FLAIR MR.
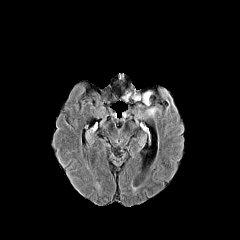
T1-weighted magnetic resonance.
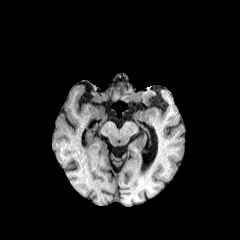
Post-contrast T1-weighted MR image.
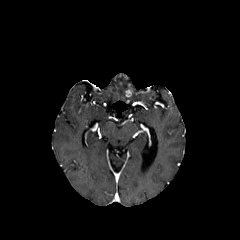
T2-weighted MR.
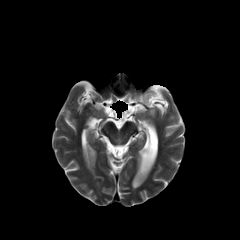
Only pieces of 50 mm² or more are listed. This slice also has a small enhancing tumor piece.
The 2 largest peritumoral edema regions appear at <box>132,92,151,104</box>, <box>148,108,156,115</box>.